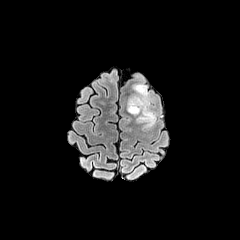
FLAIR MR image.
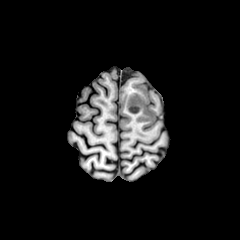
T1-weighted MR image.
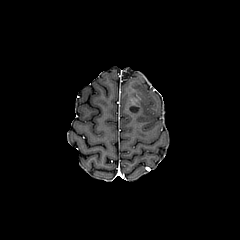
Post-contrast T1-weighted MR of the same slice.
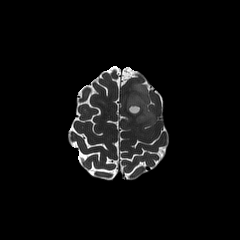
Same slice, T2-weighted MR image.
Brain, Axial view
The necrotic tumor core appears at rect(129, 106, 139, 112). The peritumoral edema lies within rect(127, 83, 156, 126). The enhancing tumor appears at rect(126, 97, 141, 114).